FLAIR MR image.
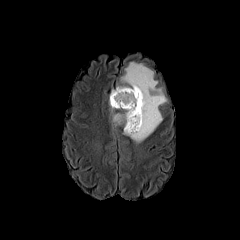
T1-weighted MR image.
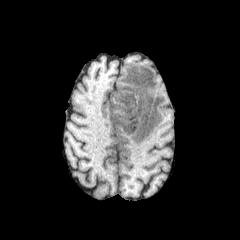
Post-contrast T1-weighted magnetic resonance.
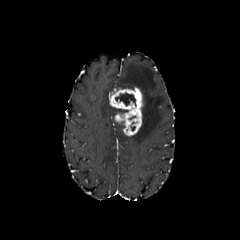
T2-weighted MR image.
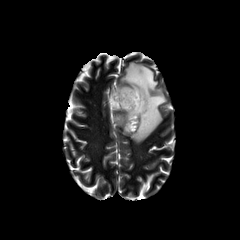
Axial slice.
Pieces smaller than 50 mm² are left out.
<segmentation>
  <peritumoral_edema>bbox=[110, 107, 120, 125]; bbox=[114, 60, 167, 143]</peritumoral_edema>
  <enhancing_tumor>bbox=[109, 87, 143, 135]</enhancing_tumor>
  <necrotic_tumor_core>bbox=[115, 92, 136, 106]</necrotic_tumor_core>
</segmentation>